FLAIR magnetic resonance.
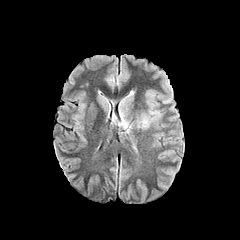
T1-weighted MR.
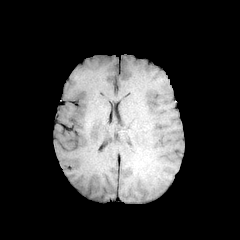
Post-contrast T1-weighted MR image.
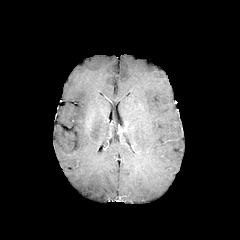
T2-weighted MRI.
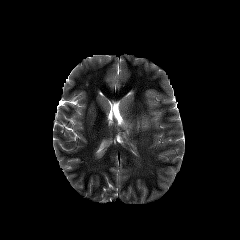
Brain
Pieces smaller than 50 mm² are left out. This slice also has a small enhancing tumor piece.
The largest peritumoral edema region appears at box(118, 111, 126, 129).